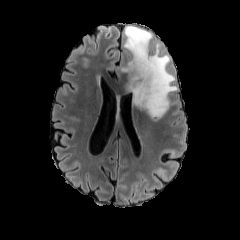
FLAIR MR.
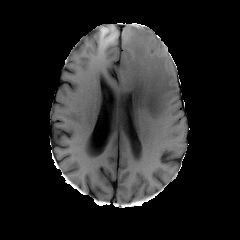
T1-weighted MR image.
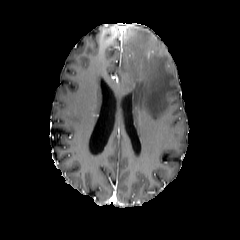
Same slice, post-contrast T1-weighted MR image.
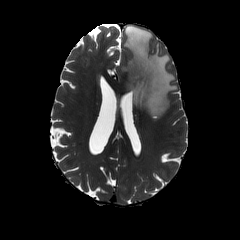
Same slice, T2-weighted magnetic resonance.
Axial slice; Image size 240x240
Segmented structures:
- peritumoral edema: [x1=121, y1=25, x2=177, y2=121]